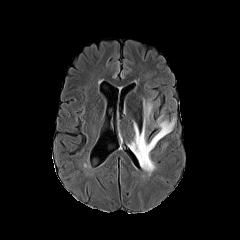
FLAIR MR.
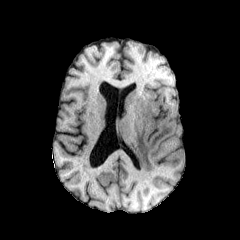
Same slice, T1-weighted MRI.
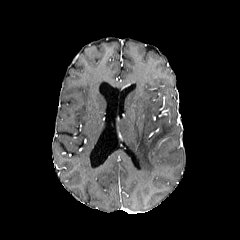
Post-contrast T1-weighted MR image.
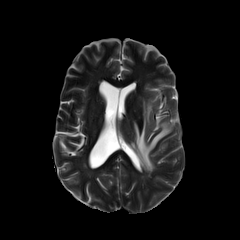
Same slice, T2-weighted MR image.
Brain | 240x240 px
{
  "peritumoral_edema": [
    "129, 100, 175, 174"
  ]
}